Image size 240x240 | Axial slice
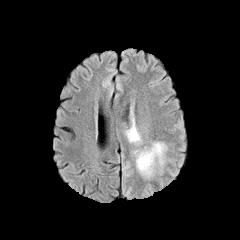
FLAIR MR image.
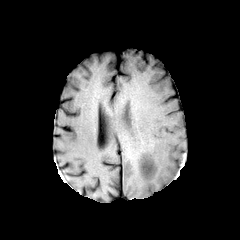
Same slice, T1-weighted MR image.
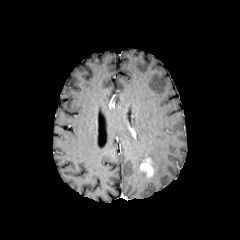
Post-contrast T1-weighted magnetic resonance.
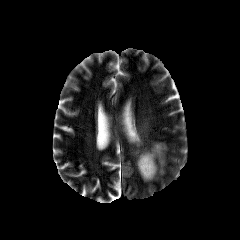
T2-weighted MR.
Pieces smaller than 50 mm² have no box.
{
  "enhancing_tumor": [
    "140,157,154,178"
  ],
  "peritumoral_edema": [
    "126,126,140,144",
    "136,143,166,179"
  ]
}